Image covers 240 mm x 240 mm; Axial slice
FLAIR magnetic resonance.
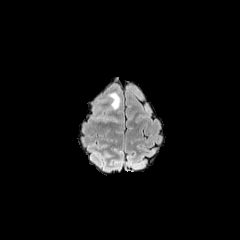
T1-weighted magnetic resonance.
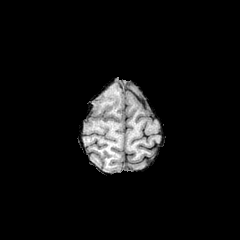
Post-contrast T1-weighted MR.
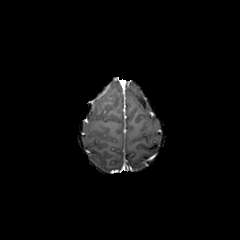
T2-weighted magnetic resonance.
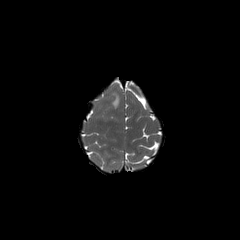
Segmented structures:
- peritumoral edema: region(109, 93, 119, 109)